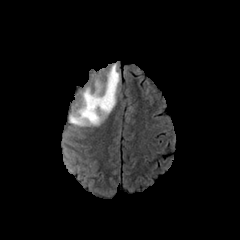
FLAIR magnetic resonance.
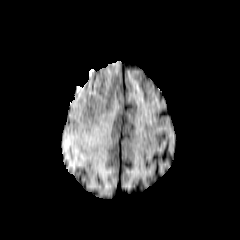
T1-weighted MR image of the same slice.
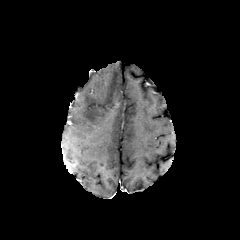
Post-contrast T1-weighted magnetic resonance of the same slice.
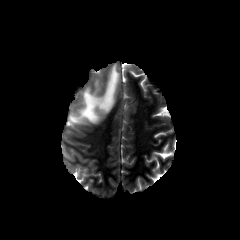
T2-weighted MR of the same slice.
Brain. 240x240.
Annotated regions:
• peritumoral edema: l=70, t=64, r=120, b=123